Slice 104 of 155; 240x240 px
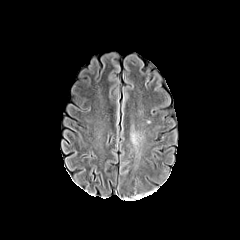
FLAIR MR.
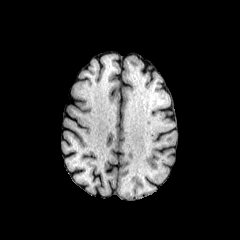
T1-weighted MR.
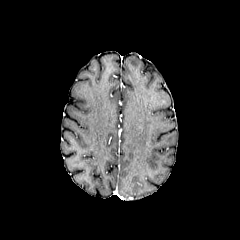
Post-contrast T1-weighted magnetic resonance of the same slice.
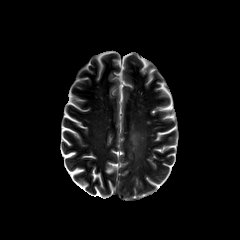
Same slice, T2-weighted MRI.
{
  "peritumoral_edema": [
    "x1=131 y1=133 x2=137 y2=145"
  ]
}